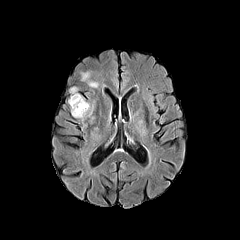
FLAIR MR image.
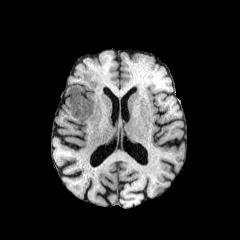
Same slice, T1-weighted MR image.
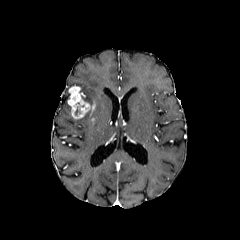
Post-contrast T1-weighted MRI of the same slice.
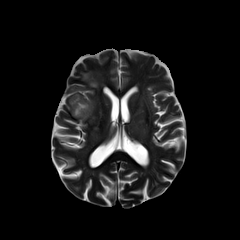
Same slice, T2-weighted MR image.
Head
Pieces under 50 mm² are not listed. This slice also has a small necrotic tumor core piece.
• peritumoral edema: 82, 72, 98, 87
• enhancing tumor: 67, 86, 95, 118